Axial slice; Slice index 103; Brain
FLAIR MRI.
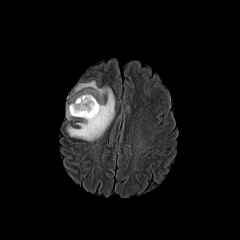
T1-weighted MR image.
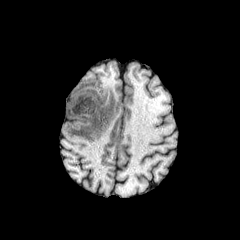
Post-contrast T1-weighted MR.
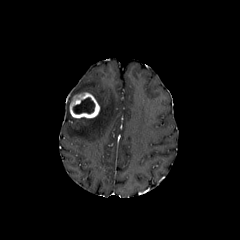
T2-weighted MR.
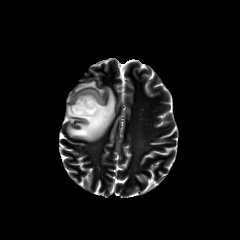
{"necrotic_tumor_core": ["[x1=73, y1=97, x2=94, y2=113]"], "peritumoral_edema": ["[x1=66, y1=105, x2=72, y2=119]", "[x1=66, y1=80, x2=115, y2=141]"], "enhancing_tumor": ["[x1=69, y1=92, x2=100, y2=118]"]}